Brain | Image size 240x240 | Slice 55/155
FLAIR magnetic resonance.
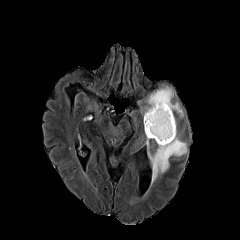
T1-weighted magnetic resonance.
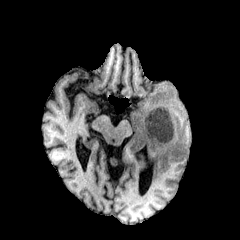
Post-contrast T1-weighted magnetic resonance.
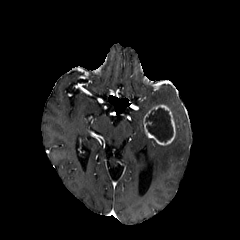
T2-weighted MR.
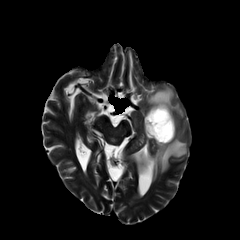
peritumoral edema = {"x1": 145, "y1": 120, "x2": 187, "y2": 184}, {"x1": 141, "y1": 86, "x2": 183, "y2": 117}
enhancing tumor = {"x1": 143, "y1": 104, "x2": 175, "y2": 145}
necrotic tumor core = {"x1": 145, "y1": 108, "x2": 173, "y2": 142}